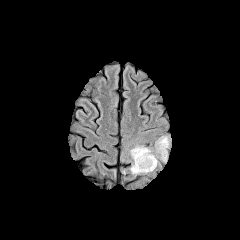
FLAIR MR image.
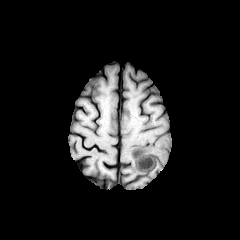
T1-weighted magnetic resonance.
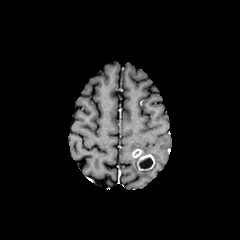
Post-contrast T1-weighted magnetic resonance.
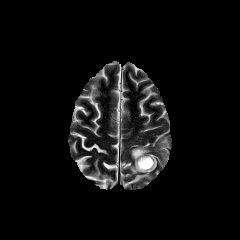
T2-weighted MRI.
Axial view; Head
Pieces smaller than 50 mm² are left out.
enhancing tumor at 132:149:155:170
necrotic tumor core at 139:158:152:168
peritumoral edema at 157:136:170:161, 129:145:157:174